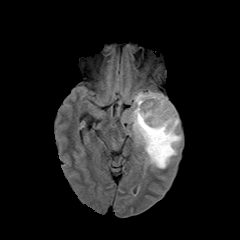
FLAIR MR image.
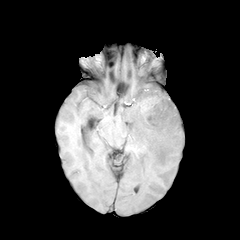
T1-weighted MR.
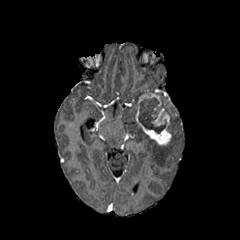
Post-contrast T1-weighted MR of the same slice.
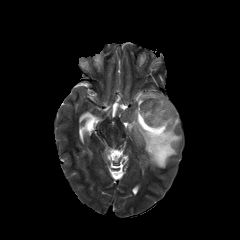
T2-weighted magnetic resonance of the same slice.
Axial slice. Brain.
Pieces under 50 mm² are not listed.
necrotic tumor core: <box>138,98,175,133</box> | peritumoral edema: <box>124,91,182,168</box> | enhancing tumor: <box>136,91,171,145</box>, <box>164,101,177,115</box>